Image size 240x240; Head; Image covers 240 mm x 240 mm
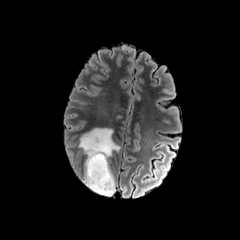
FLAIR MRI.
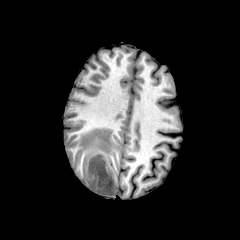
T1-weighted magnetic resonance.
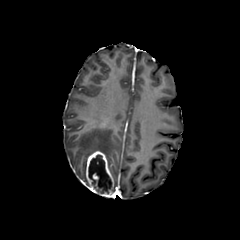
Post-contrast T1-weighted magnetic resonance.
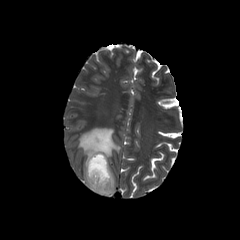
T2-weighted magnetic resonance of the same slice.
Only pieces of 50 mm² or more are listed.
The largest enhancing tumor region is located at left=83, top=151, right=115, bottom=196. The necrotic tumor core appears at left=88, top=155, right=111, bottom=193. The largest peritumoral edema region is at left=78, top=128, right=119, bottom=181.